Image width 240 mm, Image size 240x240, Axial slice
FLAIR MR.
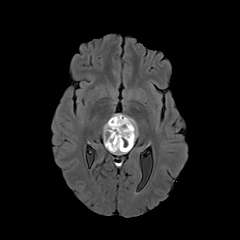
T1-weighted magnetic resonance.
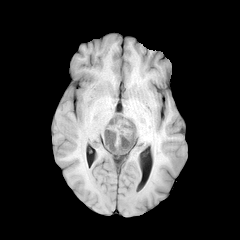
Post-contrast T1-weighted MRI.
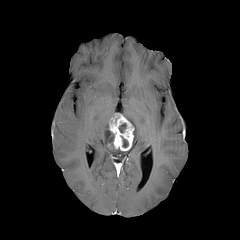
T2-weighted magnetic resonance.
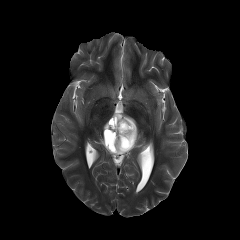
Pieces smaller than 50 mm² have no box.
peritumoral edema: 103,119,128,154; 122,114,138,145 | enhancing tumor: 108,113,134,151 | necrotic tumor core: 118,123,126,132; 105,129,114,149; 121,136,128,147